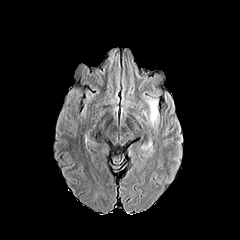
FLAIR MRI.
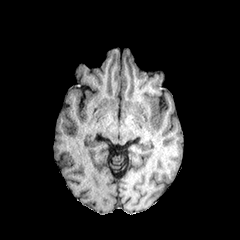
T1-weighted MR image.
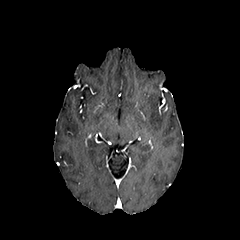
Same slice, post-contrast T1-weighted MRI.
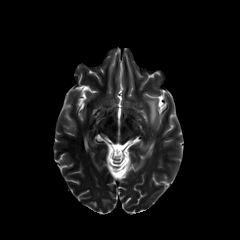
T2-weighted magnetic resonance.
Axial plane. Image size 240x240.
{
  "peritumoral_edema": [
    "(148,100,157,124)"
  ]
}